Head
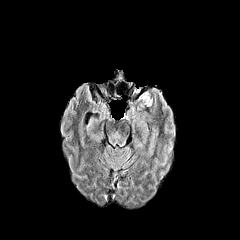
FLAIR MR.
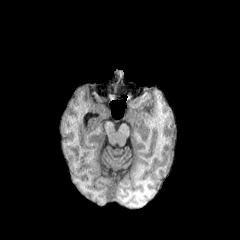
T1-weighted magnetic resonance.
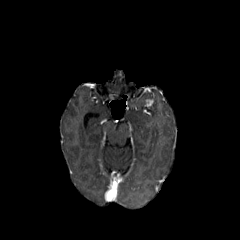
Same slice, post-contrast T1-weighted MR image.
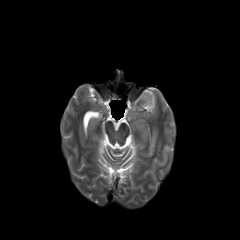
T2-weighted MR image of the same slice.
peritumoral edema — [x1=138, y1=92, x2=153, y2=107]